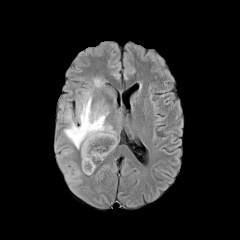
FLAIR MR image.
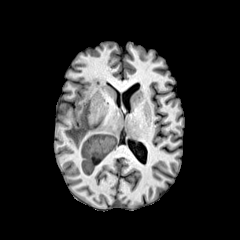
T1-weighted magnetic resonance of the same slice.
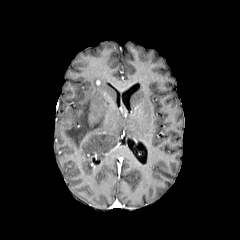
Post-contrast T1-weighted magnetic resonance of the same slice.
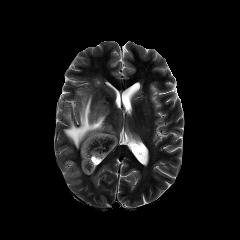
T2-weighted MR image.
Brain. Axial view. 240x240.
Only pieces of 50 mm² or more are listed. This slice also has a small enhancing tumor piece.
Annotated regions:
• peritumoral edema: <bbox>64, 91, 117, 174</bbox>